Axial view | Brain | Slice 85/155
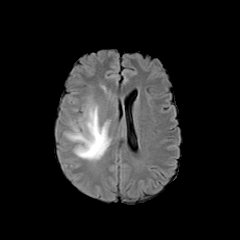
FLAIR MR.
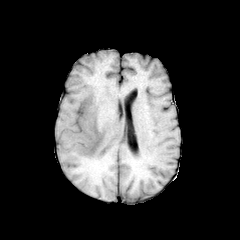
T1-weighted MRI.
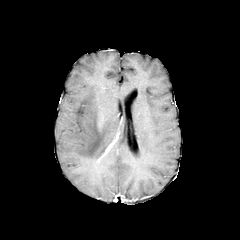
Post-contrast T1-weighted MRI.
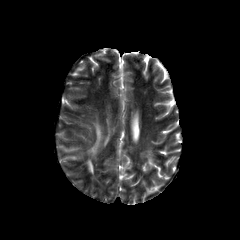
T2-weighted magnetic resonance.
* peritumoral edema: {"x1": 65, "y1": 105, "x2": 111, "y2": 161}